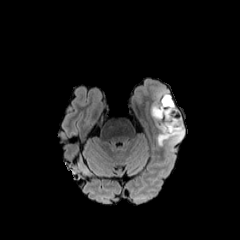
FLAIR MR.
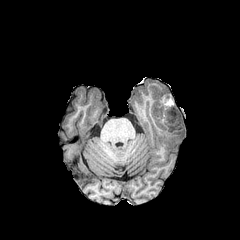
T1-weighted MR of the same slice.
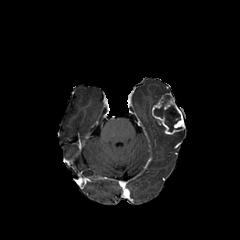
Post-contrast T1-weighted MRI of the same slice.
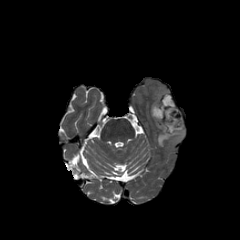
Same slice, T2-weighted MR image.
Image size 240x240. Head.
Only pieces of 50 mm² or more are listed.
<segmentation>
  <peritumoral_edema>152 90 169 106, 155 119 185 147</peritumoral_edema>
  <enhancing_tumor>151 93 184 134</enhancing_tumor>
  <necrotic_tumor_core>154 95 180 131</necrotic_tumor_core>
</segmentation>